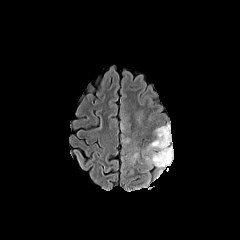
FLAIR magnetic resonance.
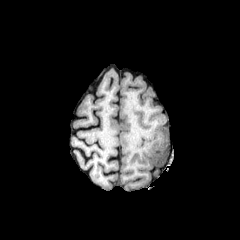
Same slice, T1-weighted MR.
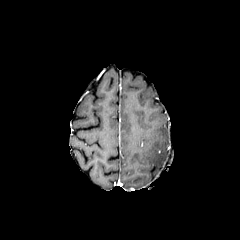
Post-contrast T1-weighted MRI of the same slice.
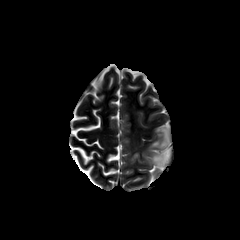
T2-weighted MRI.
Brain
3 peritumoral edema regions appear at [146,124,172,167], [120,113,131,143], [130,152,139,164].